Axial slice | Slice 107/155 | 240x240 px
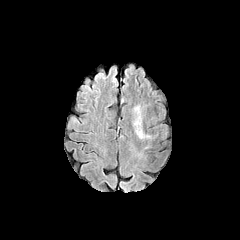
FLAIR MR.
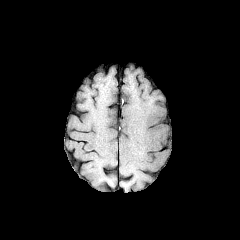
T1-weighted MR of the same slice.
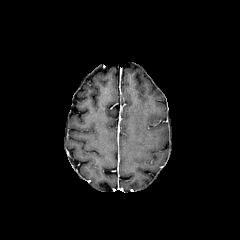
Same slice, post-contrast T1-weighted MRI.
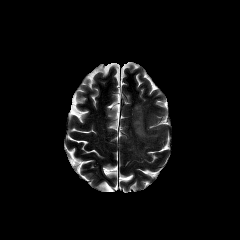
T2-weighted MRI.
The peritumoral edema lies within (x1=133, y1=105, x2=151, y2=139).